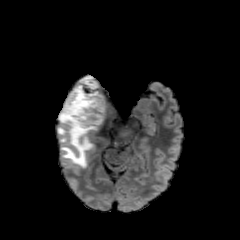
FLAIR MRI.
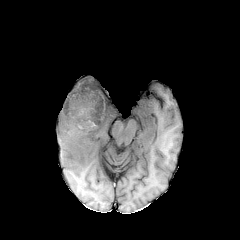
Same slice, T1-weighted MRI.
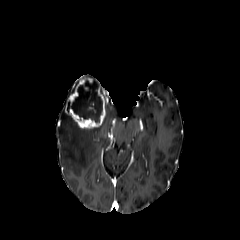
Same slice, post-contrast T1-weighted MRI.
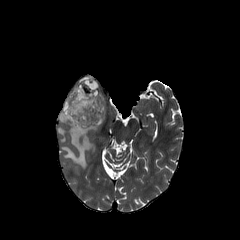
T2-weighted MR of the same slice.
Head
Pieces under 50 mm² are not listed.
peritumoral edema: box(58, 86, 117, 167) | enhancing tumor: box(64, 76, 106, 128) | necrotic tumor core: box(67, 80, 102, 122)